FLAIR MR image.
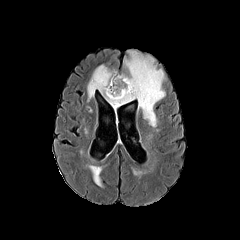
T1-weighted MR.
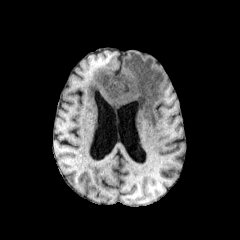
Post-contrast T1-weighted MR image.
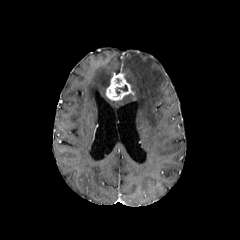
T2-weighted MR.
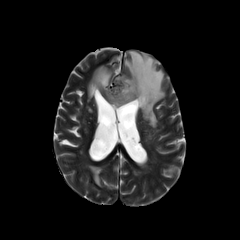
Head | Axial view
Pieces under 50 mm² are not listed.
peritumoral edema: bounding box [89,166,102,187], [87,50,165,127]
enhancing tumor: bounding box [105,73,134,100]
necrotic tumor core: bounding box [116,85,127,95]